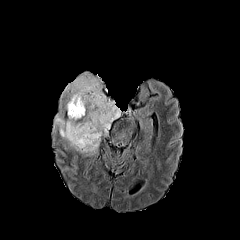
FLAIR MR image.
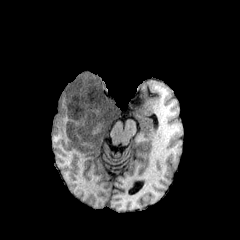
T1-weighted MRI of the same slice.
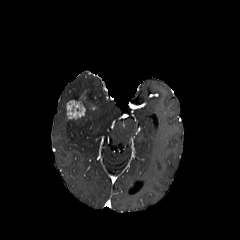
Post-contrast T1-weighted MR.
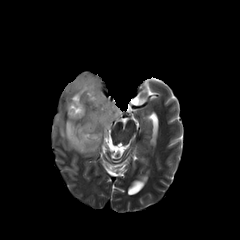
T2-weighted MR of the same slice.
240x240 px.
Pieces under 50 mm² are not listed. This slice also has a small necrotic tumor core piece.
enhancing tumor: x1=66 y1=93 x2=87 y2=119
peritumoral edema: x1=55 y1=73 x2=120 y2=153